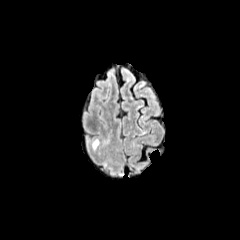
FLAIR MR.
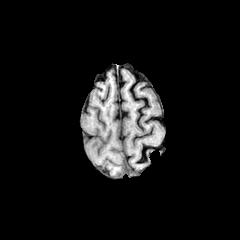
T1-weighted MR image.
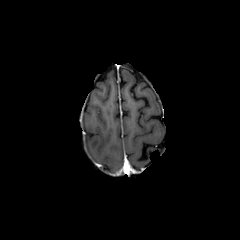
Post-contrast T1-weighted MR image.
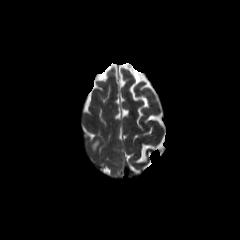
T2-weighted MR of the same slice.
Head; Axial plane
The peritumoral edema appears at 92,139,99,152.